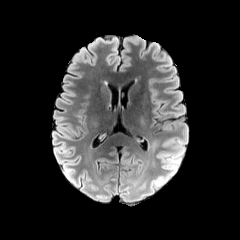
FLAIR magnetic resonance.
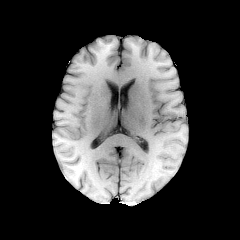
Same slice, T1-weighted magnetic resonance.
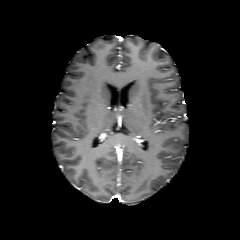
Same slice, post-contrast T1-weighted MR image.
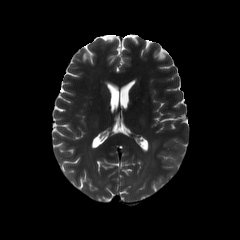
T2-weighted MR image of the same slice.
Axial plane. Brain.
<segmentation>
  <peritumoral_edema>[x1=155, y1=139, x2=185, y2=186]</peritumoral_edema>
</segmentation>